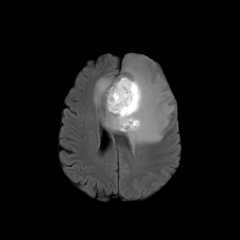
FLAIR MR.
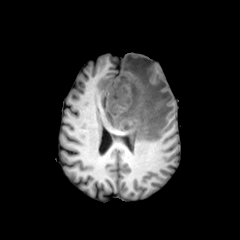
T1-weighted MR image of the same slice.
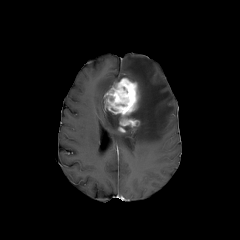
Post-contrast T1-weighted MRI of the same slice.
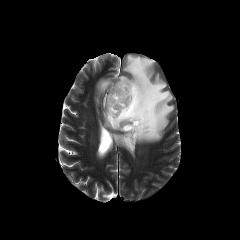
T2-weighted MRI.
Axial view | 240x240
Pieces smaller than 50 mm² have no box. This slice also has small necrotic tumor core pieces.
enhancing tumor at [104,77,139,132]
peritumoral edema at [94,55,174,148], [103,108,119,131]